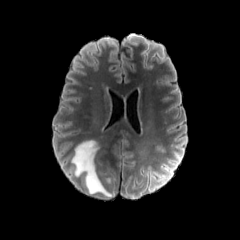
FLAIR MR image.
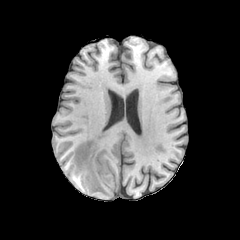
T1-weighted magnetic resonance of the same slice.
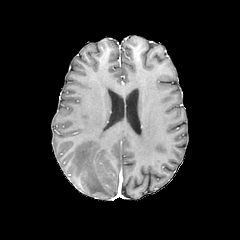
Same slice, post-contrast T1-weighted magnetic resonance.
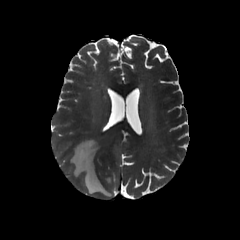
Same slice, T2-weighted MR image.
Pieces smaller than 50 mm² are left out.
The largest peritumoral edema region appears at {"x1": 71, "y1": 140, "x2": 111, "y2": 197}.